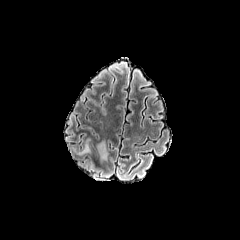
FLAIR magnetic resonance.
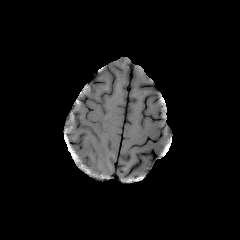
T1-weighted MRI.
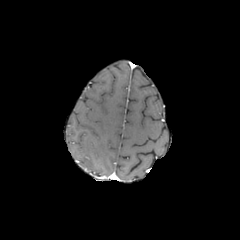
Post-contrast T1-weighted MRI of the same slice.
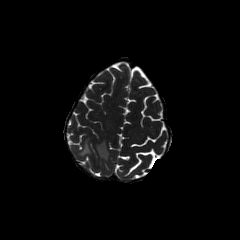
Same slice, T2-weighted magnetic resonance.
Brain
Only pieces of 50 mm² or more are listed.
peritumoral edema: box=[97, 140, 108, 160]